Head, Image size 240x240
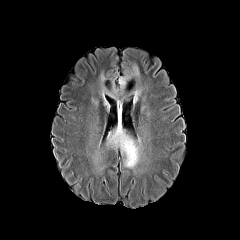
FLAIR MR image.
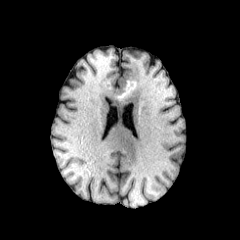
T1-weighted magnetic resonance.
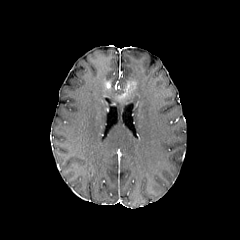
Post-contrast T1-weighted MRI.
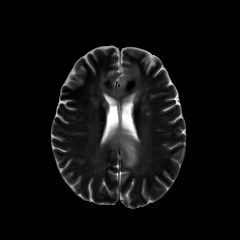
T2-weighted MR image.
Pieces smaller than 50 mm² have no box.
{"peritumoral_edema": ["106:114:142:168", "100:74:115:98", "119:65:141:103"]}